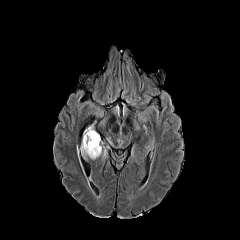
FLAIR MR.
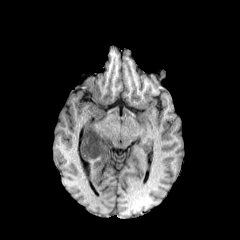
T1-weighted MR image of the same slice.
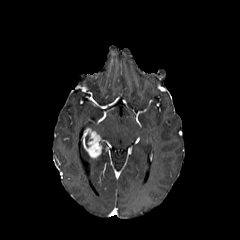
Post-contrast T1-weighted magnetic resonance.
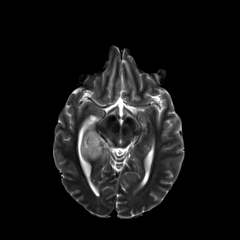
T2-weighted MR of the same slice.
Brain. Axial plane. 240x240.
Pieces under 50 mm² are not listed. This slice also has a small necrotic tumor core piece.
peritumoral edema = rect(81, 141, 91, 158)
enhancing tumor = rect(83, 127, 102, 158)